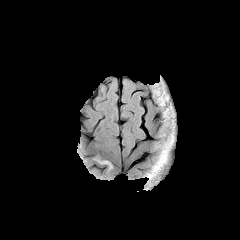
FLAIR MR image.
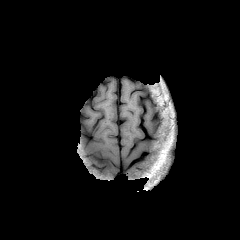
T1-weighted magnetic resonance.
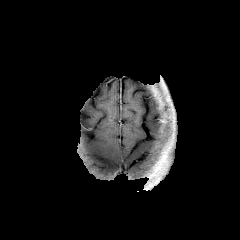
Post-contrast T1-weighted MRI.
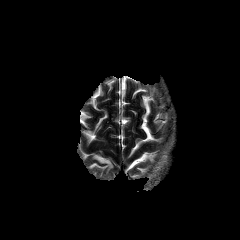
T2-weighted MR.
Axial slice. Brain.
The peritumoral edema is at rect(93, 155, 112, 171).